Slice 59 of 155. Image covers 240 mm x 240 mm. 240x240. Head.
FLAIR MR image.
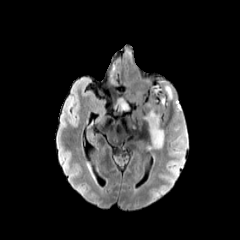
T1-weighted MR.
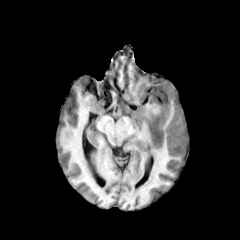
Post-contrast T1-weighted MRI.
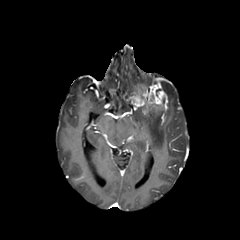
T2-weighted MR image.
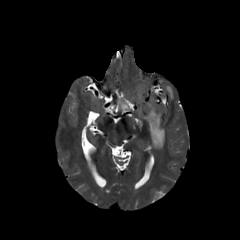
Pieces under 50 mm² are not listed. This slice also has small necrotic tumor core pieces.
<segmentation>
  <peritumoral_edema>x1=143, y1=102, x2=166, y2=149; x1=160, y1=82, x2=173, y2=102; x1=132, y1=84, x2=149, y2=96</peritumoral_edema>
  <enhancing_tumor>x1=132, y1=81, x2=167, y2=109</enhancing_tumor>
</segmentation>